Slice 84 of 155 | Image covers 240 mm x 240 mm | 240x240 | Axial slice
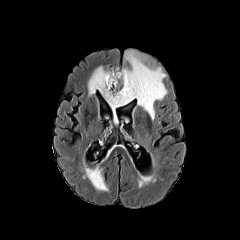
FLAIR MRI.
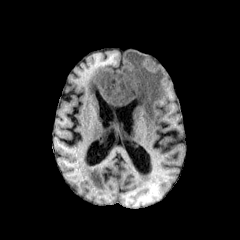
T1-weighted MR image.
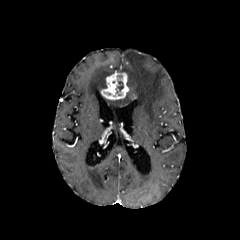
Post-contrast T1-weighted MR image.
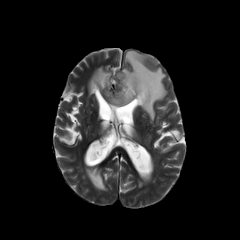
T2-weighted magnetic resonance of the same slice.
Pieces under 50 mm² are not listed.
The largest necrotic tumor core region is located at rect(116, 81, 123, 93). The enhancing tumor is located at rect(101, 72, 129, 99). 3 peritumoral edema regions are located at rect(88, 65, 113, 95); rect(85, 167, 107, 190); rect(106, 50, 167, 119).